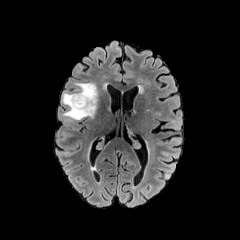
FLAIR MR image.
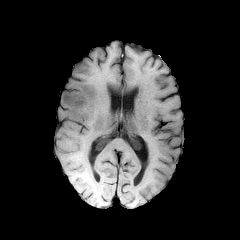
Same slice, T1-weighted magnetic resonance.
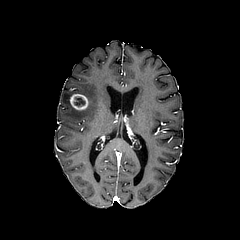
Same slice, post-contrast T1-weighted MR image.
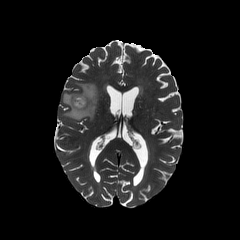
T2-weighted MR image of the same slice.
Axial plane.
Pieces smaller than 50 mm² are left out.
The enhancing tumor is at (x1=69, y1=94, x2=88, y2=110). The necrotic tumor core is located at (x1=74, y1=98, x2=84, y2=105). The largest peritumoral edema region lies within (x1=62, y1=83, x2=98, y2=120).